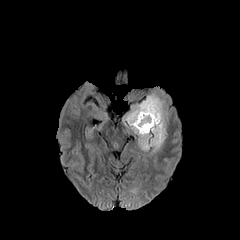
FLAIR magnetic resonance.
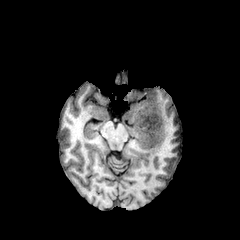
T1-weighted MRI of the same slice.
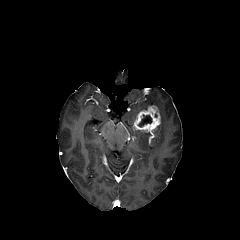
Post-contrast T1-weighted MR image of the same slice.
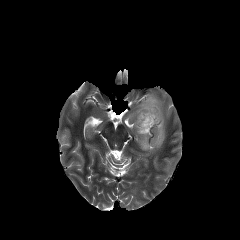
T2-weighted MR image of the same slice.
Brain.
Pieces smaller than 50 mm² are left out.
Segmented structures:
- peritumoral edema: box(125, 94, 166, 151)
- necrotic tumor core: box(138, 114, 152, 127)
- enhancing tumor: box(133, 105, 160, 132)